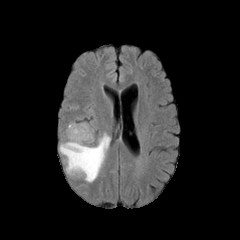
FLAIR MR image.
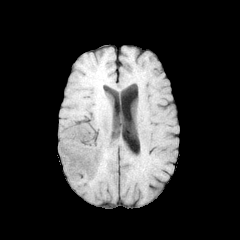
T1-weighted magnetic resonance.
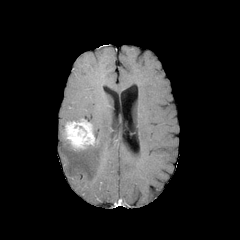
Post-contrast T1-weighted magnetic resonance.
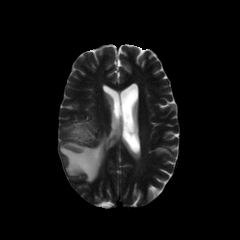
T2-weighted MR of the same slice.
Axial plane, Brain
enhancing tumor = bbox(65, 120, 94, 148)
peritumoral edema = bbox(59, 133, 110, 182)